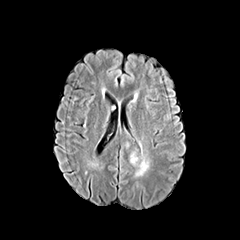
FLAIR MR image.
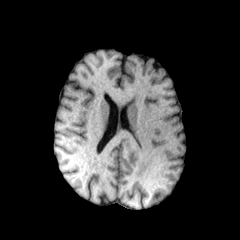
T1-weighted MR of the same slice.
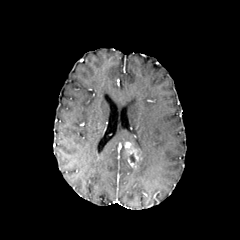
Post-contrast T1-weighted magnetic resonance.
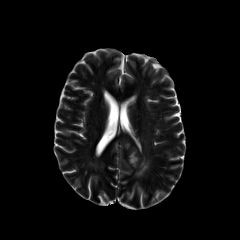
T2-weighted MRI of the same slice.
Brain, 240x240
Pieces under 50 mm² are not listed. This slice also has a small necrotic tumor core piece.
peritumoral edema: 135, 158, 149, 176
enhancing tumor: 124, 142, 138, 167